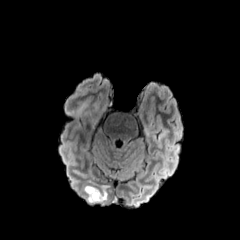
FLAIR MR image.
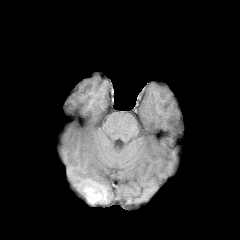
T1-weighted MR image of the same slice.
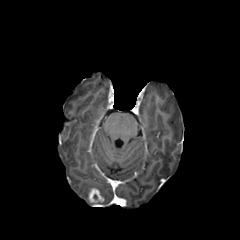
Same slice, post-contrast T1-weighted MRI.
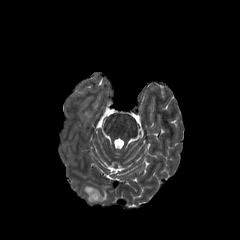
T2-weighted MR image of the same slice.
Axial plane, Image size 240x240, Brain
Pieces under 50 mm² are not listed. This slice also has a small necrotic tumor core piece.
The largest peritumoral edema region appears at x1=83 y1=180 x2=107 y2=203. The enhancing tumor is at x1=88 y1=188 x2=103 y2=203.